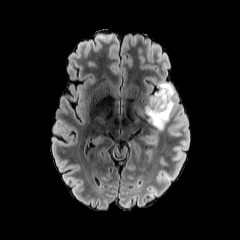
FLAIR MR.
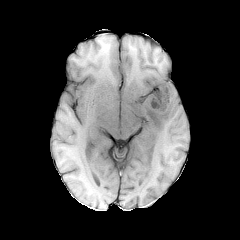
T1-weighted MRI.
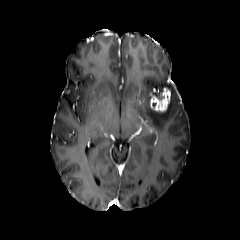
Post-contrast T1-weighted MR.
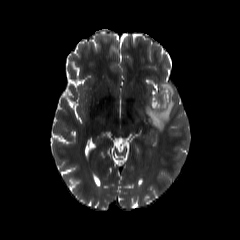
Same slice, T2-weighted MR image.
Head | Axial view | 240x240 px
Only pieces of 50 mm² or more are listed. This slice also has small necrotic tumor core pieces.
peritumoral edema at 145, 81, 176, 130
enhancing tumor at 150, 87, 170, 112